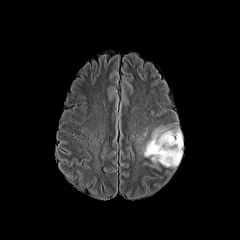
FLAIR MR.
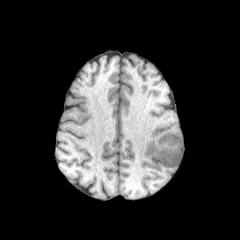
Same slice, T1-weighted magnetic resonance.
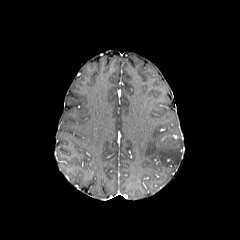
Post-contrast T1-weighted magnetic resonance.
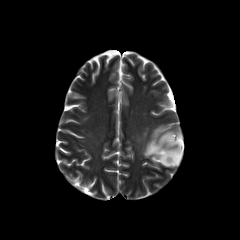
T2-weighted MRI.
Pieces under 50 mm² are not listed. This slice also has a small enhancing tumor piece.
<segmentation>
  <peritumoral_edema>x1=143 y1=128 x2=183 y2=167</peritumoral_edema>
</segmentation>